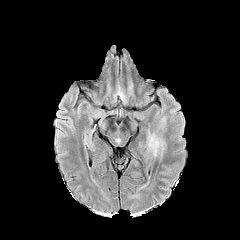
FLAIR MR.
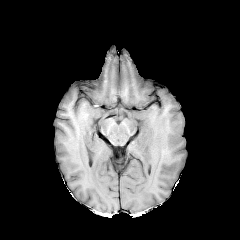
Same slice, T1-weighted magnetic resonance.
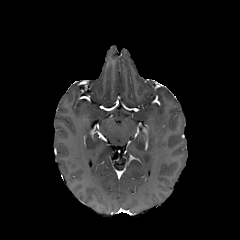
Same slice, post-contrast T1-weighted MR.
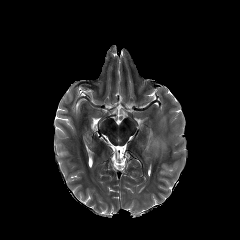
Same slice, T2-weighted MR image.
240x240 px; Axial view; Head
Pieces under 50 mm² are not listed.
peritumoral edema — left=148, top=132, right=165, bottom=156